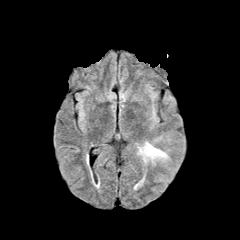
FLAIR MR image.
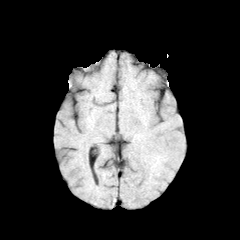
T1-weighted MR image.
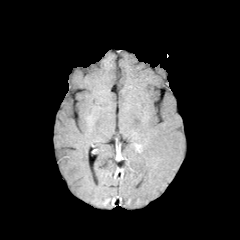
Same slice, post-contrast T1-weighted MR image.
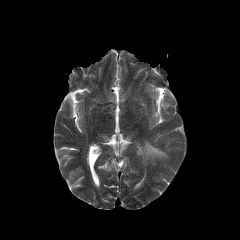
T2-weighted MR image.
Brain. Axial view. 240x240.
peritumoral edema — [x1=138, y1=142, x2=167, y2=160]